FLAIR MR.
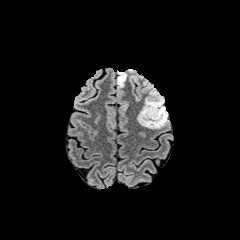
T1-weighted MR.
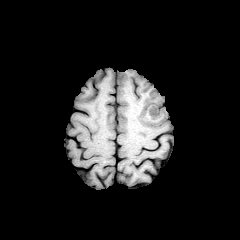
Post-contrast T1-weighted MR.
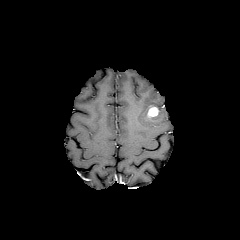
T2-weighted MRI.
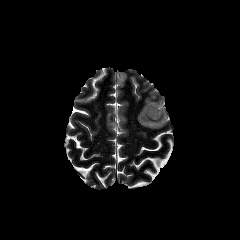
Axial view, 240x240
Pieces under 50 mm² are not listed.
* peritumoral edema: 117,71,127,87; 137,88,168,129
* enhancing tumor: 147,106,158,117